FLAIR magnetic resonance.
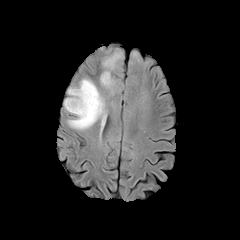
T1-weighted MR.
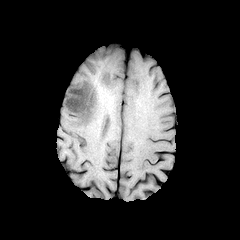
Post-contrast T1-weighted magnetic resonance.
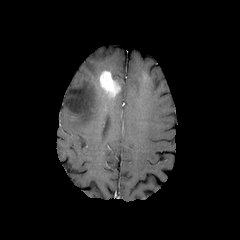
T2-weighted MRI.
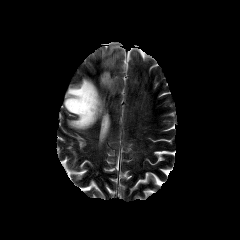
Axial plane
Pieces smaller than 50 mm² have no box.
peritumoral edema — x1=64, y1=78, x2=106, y2=130; x1=102, y1=51, x2=122, y2=71
enhancing tumor — x1=99, y1=70, x2=120, y2=96